Image size 240x240.
FLAIR magnetic resonance.
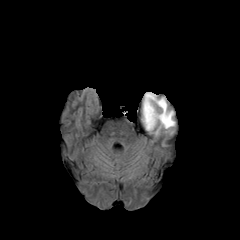
T1-weighted MRI.
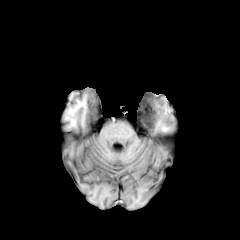
Post-contrast T1-weighted MRI.
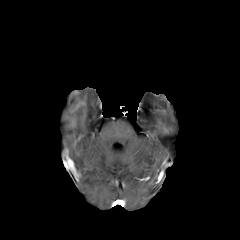
T2-weighted MR.
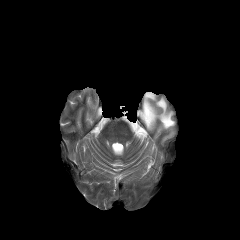
• peritumoral edema: <bbox>142, 92, 175, 133</bbox>